FLAIR MRI.
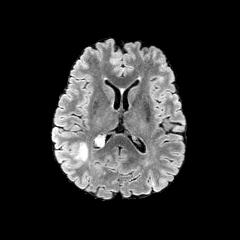
T1-weighted magnetic resonance.
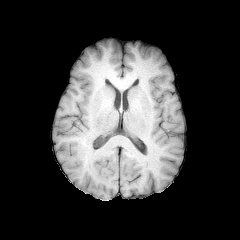
Post-contrast T1-weighted MR.
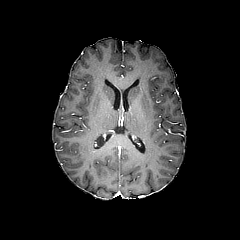
T2-weighted MRI.
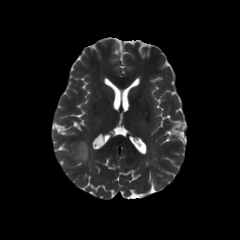
Image size 240x240, Axial plane
peritumoral edema: bounding box bbox=[71, 142, 88, 161]